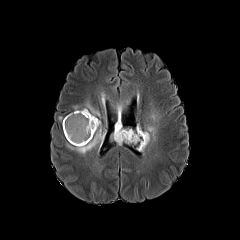
FLAIR MR.
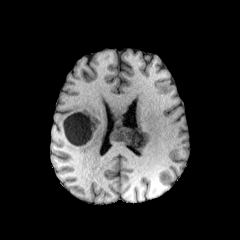
T1-weighted magnetic resonance of the same slice.
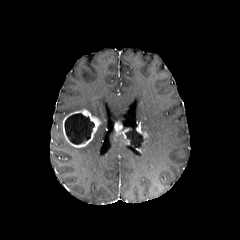
Post-contrast T1-weighted MR.
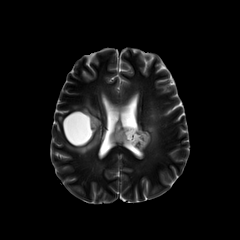
T2-weighted magnetic resonance.
Image size 240x240. Axial slice.
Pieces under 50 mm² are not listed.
The 4 largest peritumoral edema regions are located at left=141, top=112, right=158, bottom=150; left=83, top=102, right=100, bottom=117; left=67, top=122, right=105, bottom=154; left=116, top=105, right=123, bottom=122. The 2 largest necrotic tumor core regions appear at left=64, top=113, right=94, bottom=144; left=125, top=130, right=144, bottom=147. The 3 largest enhancing tumor regions are bounded by left=136, top=124, right=148, bottom=147; left=114, top=122, right=131, bottom=144; left=62, top=109, right=100, bottom=147.